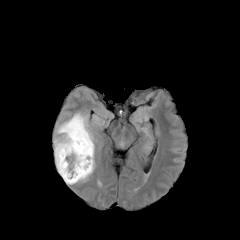
FLAIR MRI.
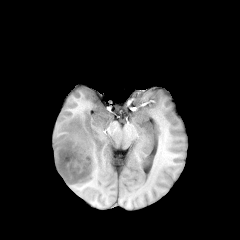
T1-weighted MRI.
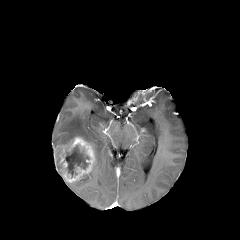
Same slice, post-contrast T1-weighted MR image.
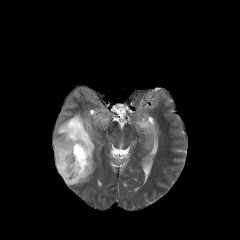
Same slice, T2-weighted MR.
Segmented structures:
• enhancing tumor: (59,137,94,183)
• peritumoral edema: (54,113,94,173), (66,160,95,184)
• necrotic tumor core: (65,145,89,176)